FLAIR magnetic resonance.
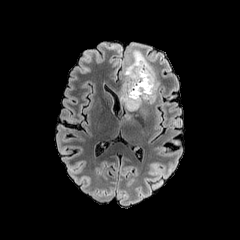
T1-weighted MRI.
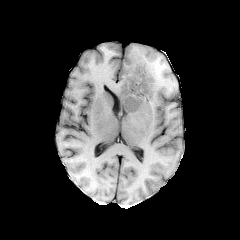
Post-contrast T1-weighted magnetic resonance.
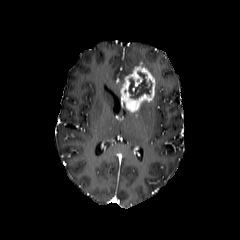
T2-weighted magnetic resonance.
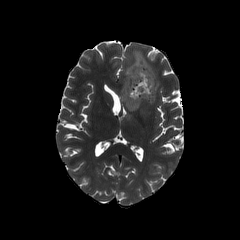
240x240. Brain.
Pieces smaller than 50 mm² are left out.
necrotic tumor core = bbox=[129, 72, 151, 98]
peritumoral edema = bbox=[122, 45, 159, 104]
enhancing tumor = bbox=[120, 62, 155, 112]